FLAIR MRI.
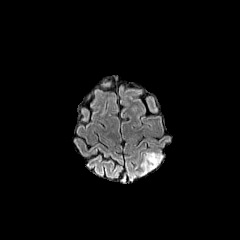
T1-weighted MR.
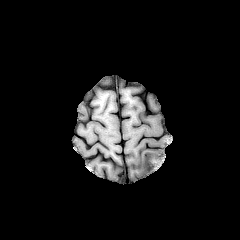
Post-contrast T1-weighted MR.
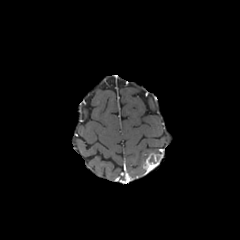
T2-weighted MR image.
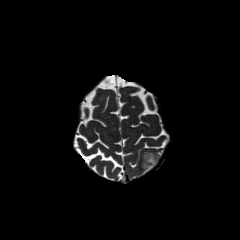
240x240, Brain
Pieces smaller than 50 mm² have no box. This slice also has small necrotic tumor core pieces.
enhancing tumor at 143 153 160 173
peritumoral edema at 137 152 162 175